Axial plane. 240x240 px.
FLAIR MRI.
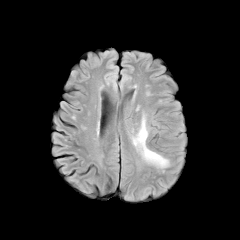
T1-weighted MR image.
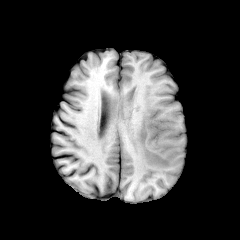
Post-contrast T1-weighted MR image.
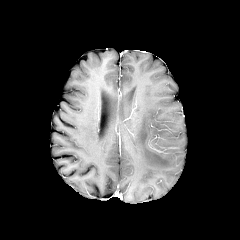
T2-weighted magnetic resonance.
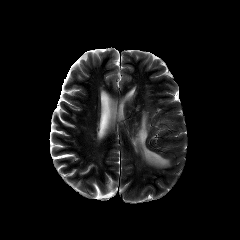
{
  "peritumoral_edema": [
    "rect(132, 114, 169, 167)"
  ]
}